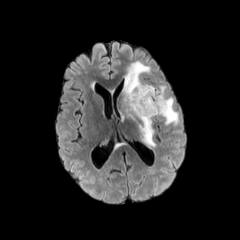
FLAIR magnetic resonance.
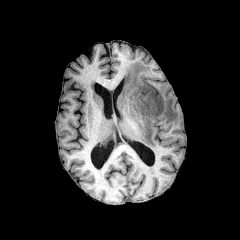
T1-weighted MR image.
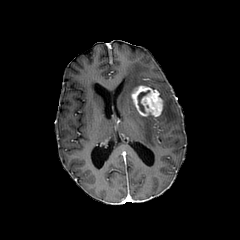
Post-contrast T1-weighted MR.
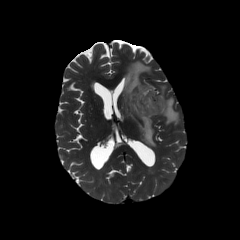
Same slice, T2-weighted MR image.
Head
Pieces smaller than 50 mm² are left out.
peritumoral edema = 123 61 155 146, 159 86 178 125
necrotic tumor core = 138 90 149 112
enhancing tumor = 131 85 163 116